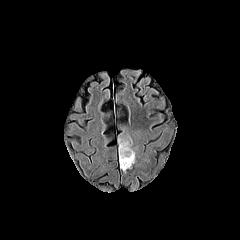
FLAIR MR image.
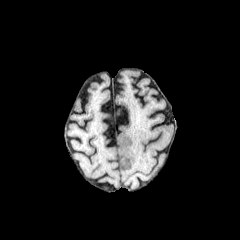
Same slice, T1-weighted MR.
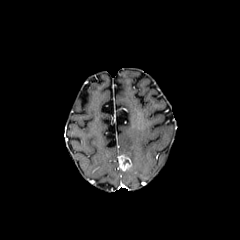
Post-contrast T1-weighted MRI of the same slice.
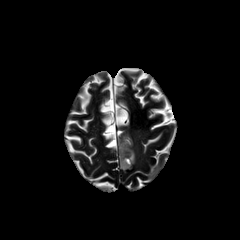
Same slice, T2-weighted MRI.
240x240. Axial slice. Head.
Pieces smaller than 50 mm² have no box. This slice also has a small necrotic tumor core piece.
enhancing_tumor:
  - left=118, top=154, right=131, bottom=170
peritumoral_edema:
  - left=118, top=138, right=134, bottom=164